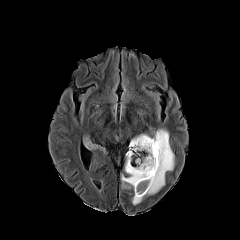
FLAIR MR.
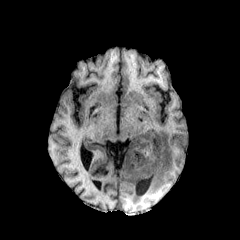
T1-weighted MR image of the same slice.
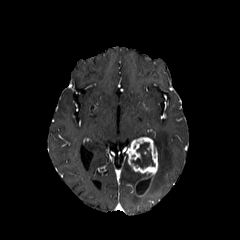
Post-contrast T1-weighted MR.
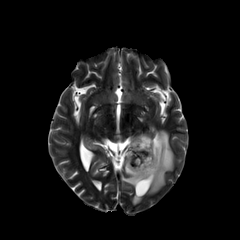
T2-weighted MR image of the same slice.
Image size 240x240. Axial view.
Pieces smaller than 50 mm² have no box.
Segmented structures:
* enhancing tumor: box(126, 137, 158, 196)
* necrotic tumor core: box(136, 177, 151, 194); box(131, 142, 154, 168)
* peritumoral edema: box(121, 161, 150, 204); box(145, 129, 174, 195); box(84, 136, 103, 148)